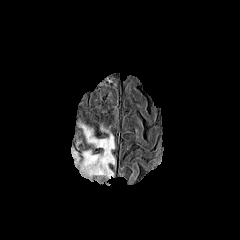
FLAIR magnetic resonance.
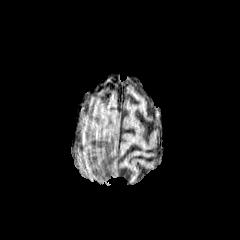
T1-weighted MR image of the same slice.
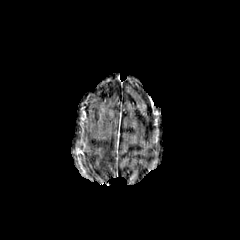
Same slice, post-contrast T1-weighted magnetic resonance.
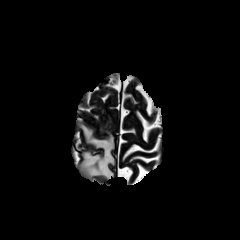
T2-weighted MRI.
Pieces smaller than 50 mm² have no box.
The largest peritumoral edema region lies within [78, 124, 114, 178].